FLAIR MR image.
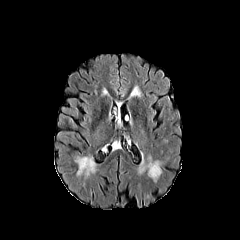
T1-weighted magnetic resonance.
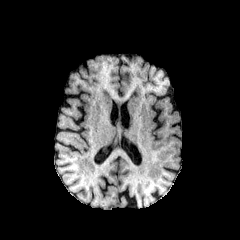
Post-contrast T1-weighted MR image.
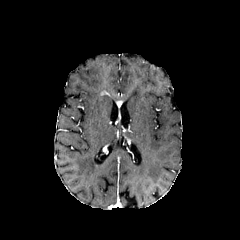
T2-weighted magnetic resonance.
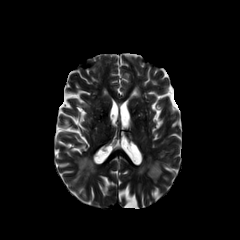
Axial slice; Head
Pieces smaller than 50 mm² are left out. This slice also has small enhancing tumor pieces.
The largest peritumoral edema region lies within <box>129,86,140,97</box>.